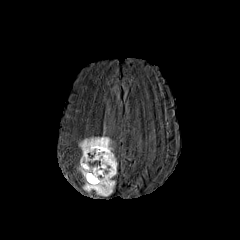
FLAIR MR image.
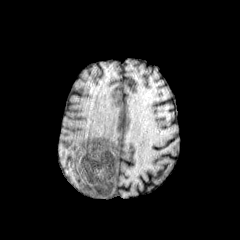
Same slice, T1-weighted magnetic resonance.
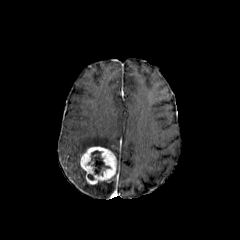
Post-contrast T1-weighted MR.
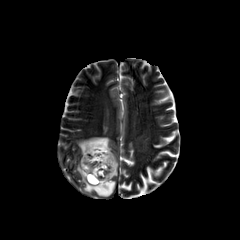
Same slice, T2-weighted magnetic resonance.
240x240 px
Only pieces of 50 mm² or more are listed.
necrotic tumor core = (left=91, top=151, right=109, bottom=175)
enhancing tumor = (left=80, top=146, right=116, bottom=184)
peritumoral edema = (left=78, top=136, right=113, bottom=154), (left=77, top=163, right=115, bottom=196)